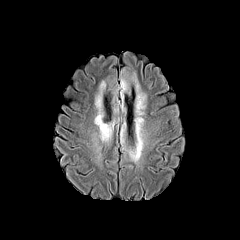
FLAIR magnetic resonance.
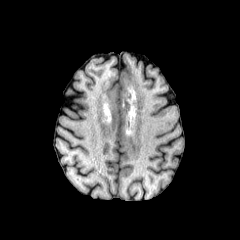
T1-weighted MR image of the same slice.
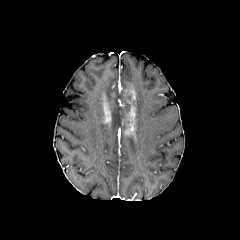
Post-contrast T1-weighted MRI.
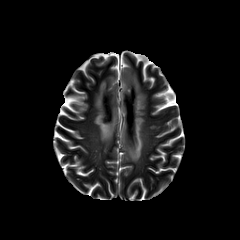
Same slice, T2-weighted MR.
Axial view, 240x240
peritumoral_edema:
  - [94, 75, 117, 141]
  - [120, 67, 146, 162]
  - [121, 104, 128, 143]